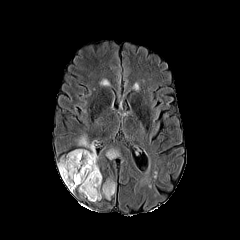
FLAIR MR.
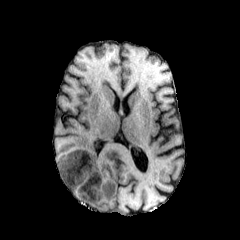
T1-weighted MR.
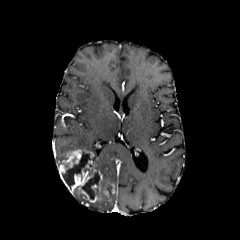
Post-contrast T1-weighted MR image of the same slice.
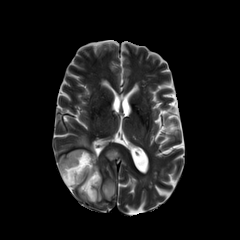
T2-weighted MR.
Axial slice; Head
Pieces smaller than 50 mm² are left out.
The 2 largest necrotic tumor core regions are bounded by region(62, 151, 90, 188); region(82, 172, 101, 199). The largest enhancing tumor region is at region(57, 149, 109, 202). The 3 largest peritumoral edema regions appear at region(106, 148, 118, 158); region(103, 177, 116, 190); region(78, 137, 99, 170).